Slice 89/155; Axial view; Image width 240 mm, 1.00 mm slice spacing
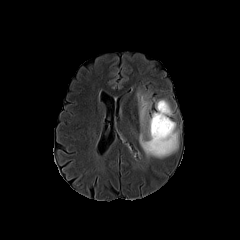
FLAIR MR.
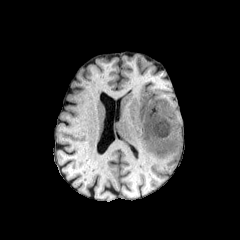
T1-weighted magnetic resonance.
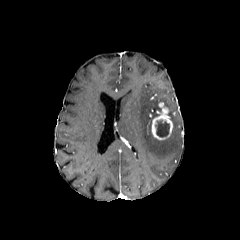
Same slice, post-contrast T1-weighted magnetic resonance.
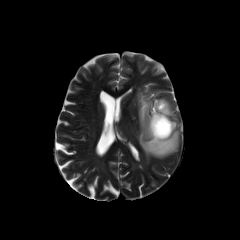
Same slice, T2-weighted MR image.
peritumoral edema at region(155, 99, 172, 116); region(137, 92, 179, 158)
enhancing tumor at region(151, 102, 173, 140)
necrotic tumor core at region(156, 120, 169, 136)